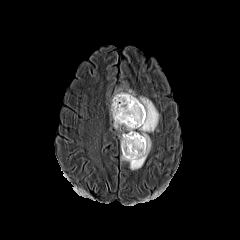
FLAIR MRI.
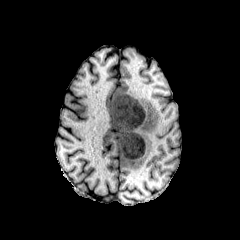
T1-weighted MR image.
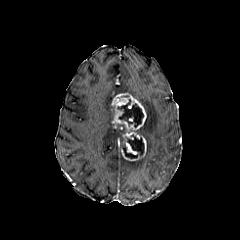
Post-contrast T1-weighted magnetic resonance.
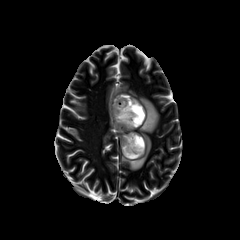
T2-weighted MR.
Axial plane | 240x240 px
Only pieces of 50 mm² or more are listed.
necrotic tumor core = <bbox>117, 99, 143, 127</bbox>, <bbox>122, 134, 144, 158</bbox>
peritumoral edema = <bbox>121, 96, 159, 170</bbox>, <bbox>109, 110, 125, 142</bbox>, <bbox>116, 88, 135, 97</bbox>
enhancing tumor = <bbox>111, 93, 146, 161</bbox>